FLAIR MR image.
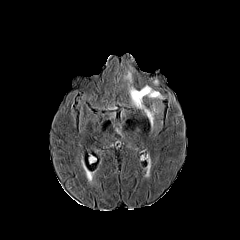
T1-weighted magnetic resonance.
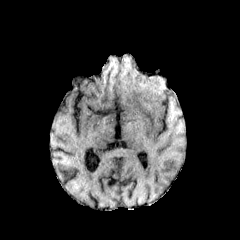
Post-contrast T1-weighted MR image.
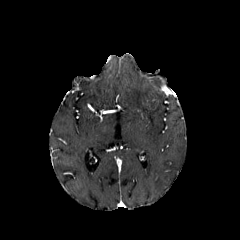
T2-weighted MRI.
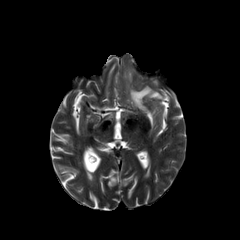
Head, Axial view, 240x240 px
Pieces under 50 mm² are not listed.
Annotated regions:
• peritumoral edema: <box>129,86,162,127</box>